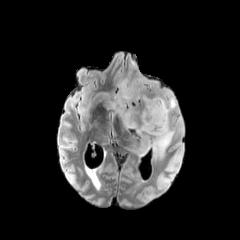
FLAIR MRI.
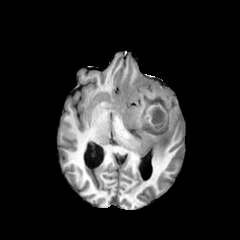
T1-weighted magnetic resonance of the same slice.
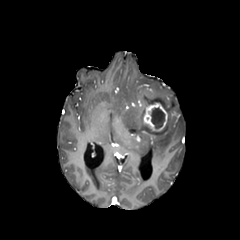
Post-contrast T1-weighted MRI.
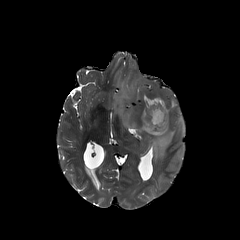
Same slice, T2-weighted MR.
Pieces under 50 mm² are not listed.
The necrotic tumor core lies within (151,107,164,128). The peritumoral edema is at (111,76,182,158). The largest enhancing tumor region is located at (143,102,167,131).